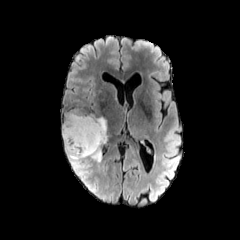
FLAIR MRI.
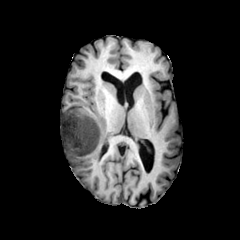
T1-weighted MRI.
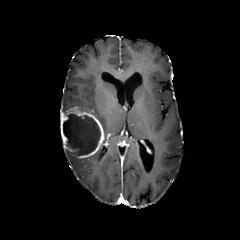
Post-contrast T1-weighted MRI.
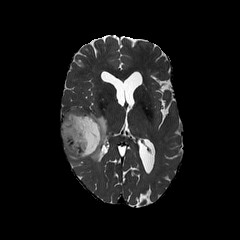
Same slice, T2-weighted MRI.
Head, Image size 240x240
Segmented structures:
- necrotic tumor core: x1=63, y1=113, x2=100, y2=156
- enhancing tumor: x1=61, y1=106, x2=104, y2=158
- peritumoral edema: x1=90, y1=148, x2=102, y2=161; x1=65, y1=150, x2=86, y2=168; x1=96, y1=115, x2=108, y2=143